Image width 240 mm, Brain, Slice index 85
FLAIR MRI.
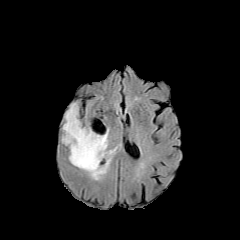
T1-weighted MR image.
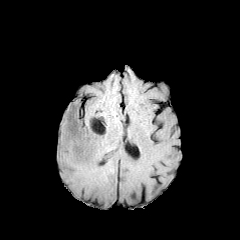
Post-contrast T1-weighted MR image.
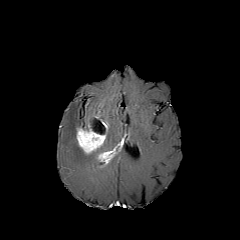
T2-weighted MR.
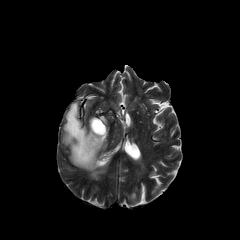
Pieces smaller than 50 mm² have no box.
necrotic tumor core: bbox=[90, 118, 105, 134] | peritumoral edema: bbox=[62, 102, 112, 180] | enhancing tumor: bbox=[76, 116, 108, 154]; bbox=[96, 148, 116, 167]